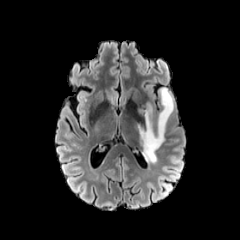
FLAIR magnetic resonance.
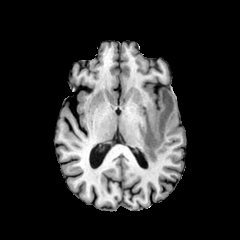
T1-weighted MR of the same slice.
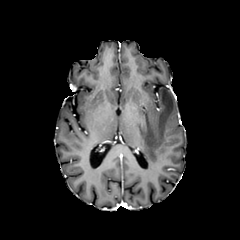
Post-contrast T1-weighted MR image.
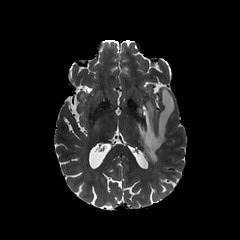
Same slice, T2-weighted MR image.
240x240
Findings:
* peritumoral edema: 135, 87, 174, 164